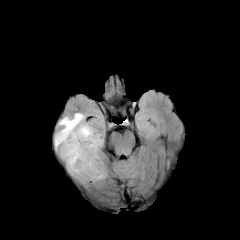
FLAIR magnetic resonance.
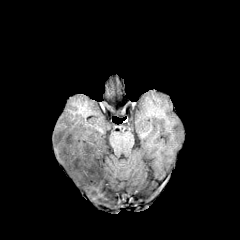
T1-weighted MRI of the same slice.
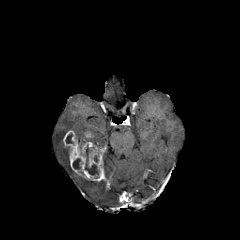
Post-contrast T1-weighted MRI of the same slice.
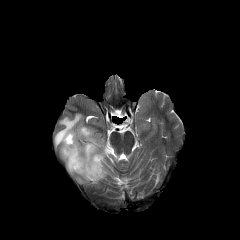
T2-weighted magnetic resonance.
Axial plane. Brain.
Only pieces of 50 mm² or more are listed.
peritumoral_edema:
  - 54,113,103,183
necrotic_tumor_core:
  - 73,158,80,169
  - 66,133,72,143
  - 85,163,98,174
enhancing_tumor:
  - 84,131,93,139
  - 62,130,105,181